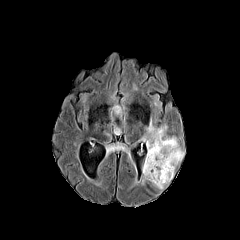
FLAIR magnetic resonance.
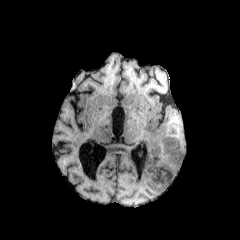
T1-weighted magnetic resonance of the same slice.
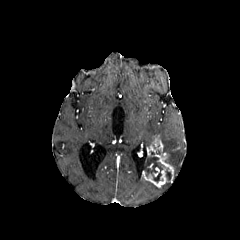
Post-contrast T1-weighted magnetic resonance.
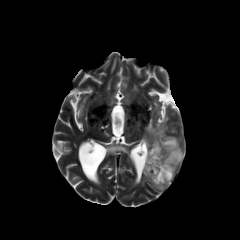
Same slice, T2-weighted magnetic resonance.
Axial view, Brain
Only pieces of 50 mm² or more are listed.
<segmentation>
  <necrotic_tumor_core>x1=165 y1=168 x2=171 y2=180, x1=143 y1=151 x2=164 y2=182</necrotic_tumor_core>
  <peritumoral_edema>x1=141 y1=119 x2=184 y2=174</peritumoral_edema>
  <enhancing_tumor>x1=142 y1=135 x2=173 y2=187</enhancing_tumor>
</segmentation>